Image width 240 mm, Head
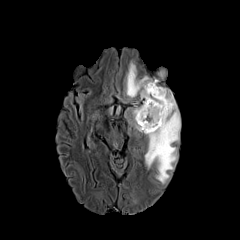
FLAIR MR image.
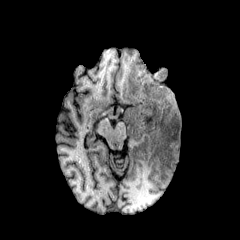
T1-weighted magnetic resonance.
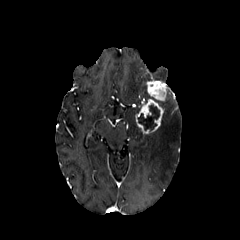
Post-contrast T1-weighted MRI of the same slice.
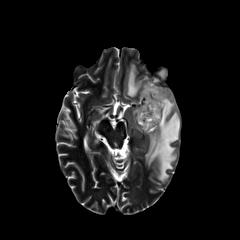
T2-weighted MR image.
{
  "necrotic_tumor_core": [
    "bbox=[138, 104, 159, 130]"
  ],
  "enhancing_tumor": [
    "bbox=[145, 79, 167, 101]",
    "bbox=[135, 98, 164, 133]"
  ],
  "peritumoral_edema": [
    "bbox=[145, 89, 180, 183]",
    "bbox=[126, 62, 151, 100]",
    "bbox=[132, 107, 141, 132]"
  ]
}